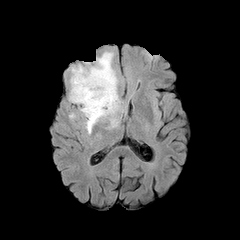
FLAIR MR.
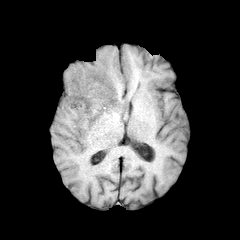
T1-weighted magnetic resonance.
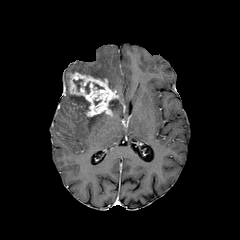
Post-contrast T1-weighted MR.
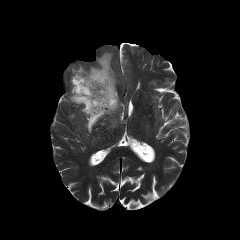
T2-weighted MRI of the same slice.
Axial plane | 240x240
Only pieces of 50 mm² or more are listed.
• peritumoral edema: 69 94 89 113, 71 52 117 89, 108 99 120 113, 85 112 107 133
• enhancing tumor: 69 72 118 116
• necrotic tumor core: 73 79 82 90